FLAIR magnetic resonance.
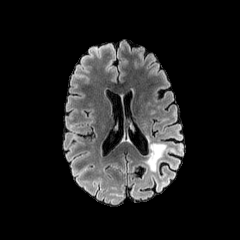
T1-weighted MRI.
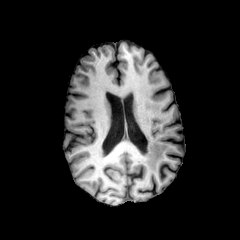
Post-contrast T1-weighted MR image.
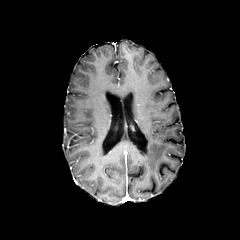
T2-weighted MR image.
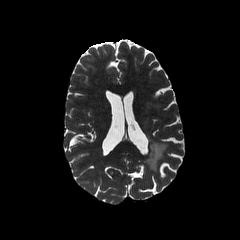
240x240 px | Axial slice | Brain
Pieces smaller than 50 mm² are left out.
peritumoral_edema:
  - (left=146, top=142, right=166, bottom=170)